FLAIR MR image.
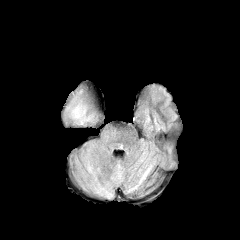
T1-weighted magnetic resonance.
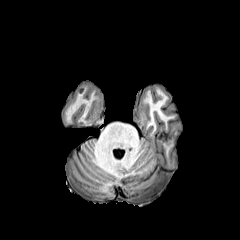
Post-contrast T1-weighted MR image.
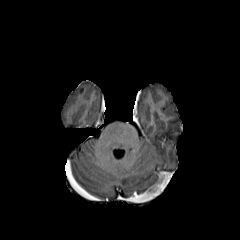
T2-weighted MR image.
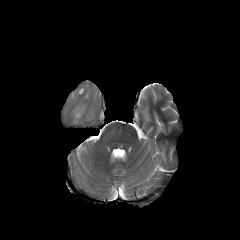
Brain, Axial view
The peritumoral edema lies within [x1=72, y1=105, x2=84, y2=118].